FLAIR MR.
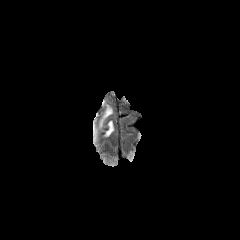
T1-weighted MR image.
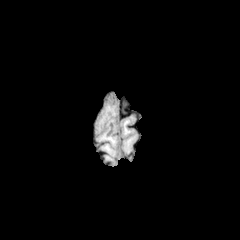
Post-contrast T1-weighted MR.
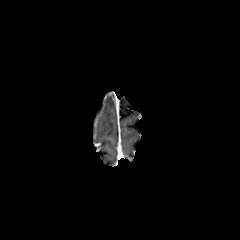
T2-weighted MR image.
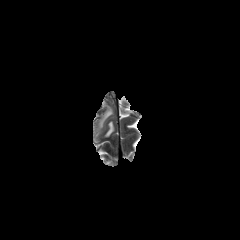
Axial view | 240x240 px
peritumoral edema: (96, 105, 112, 133), (105, 121, 114, 136)